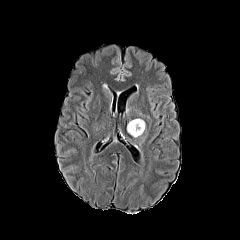
FLAIR MR.
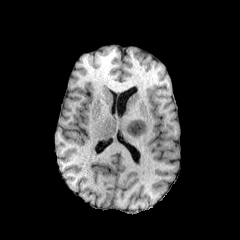
T1-weighted MRI.
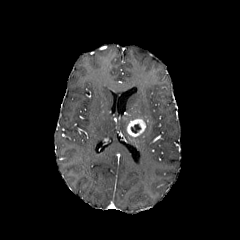
Post-contrast T1-weighted MRI of the same slice.
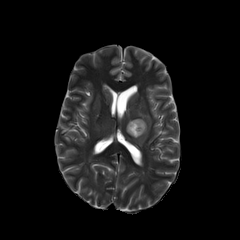
T2-weighted MR of the same slice.
240x240.
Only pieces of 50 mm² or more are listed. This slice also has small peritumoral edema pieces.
necrotic tumor core: bounding box (131, 124, 140, 133)
enhancing tumor: bounding box (127, 119, 145, 136)